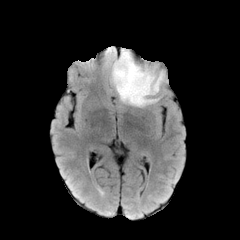
FLAIR MR image.
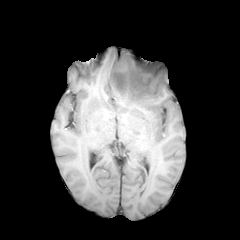
T1-weighted magnetic resonance.
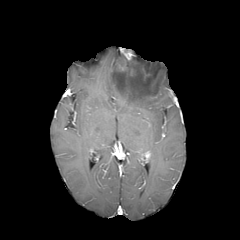
Post-contrast T1-weighted magnetic resonance of the same slice.
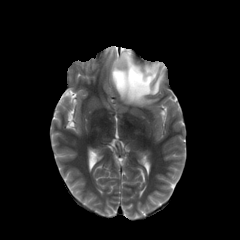
T2-weighted MRI.
Axial slice
The peritumoral edema is at (112,53,164,106). The enhancing tumor is bounded by (121,48,132,60).